FLAIR MR image.
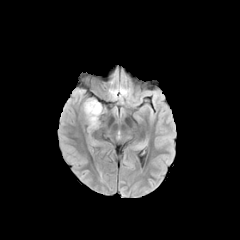
T1-weighted MR image.
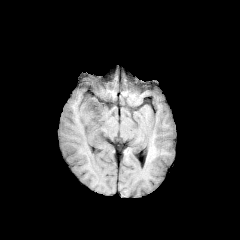
Post-contrast T1-weighted MR.
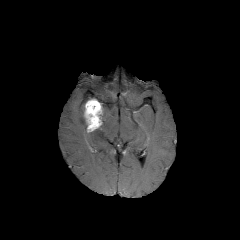
T2-weighted MR image.
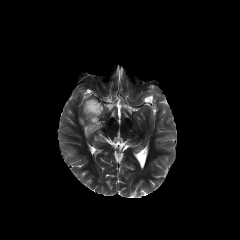
Brain
peritumoral edema at (102,107,107,126), (78,106,87,129)
enhancing tumor at (82,97,104,133)